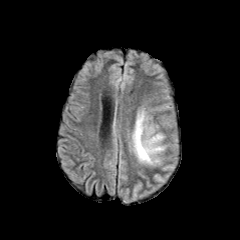
FLAIR MR image.
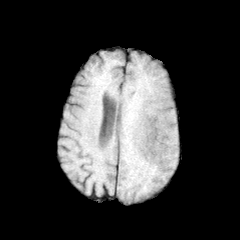
Same slice, T1-weighted magnetic resonance.
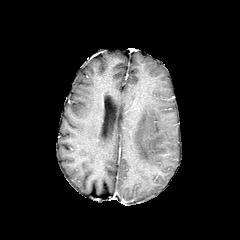
Post-contrast T1-weighted MRI.
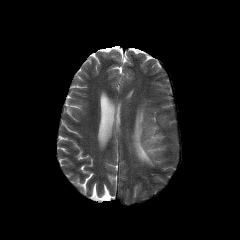
T2-weighted MR.
Head | Axial slice
peritumoral edema: bounding box bbox(132, 110, 164, 164)